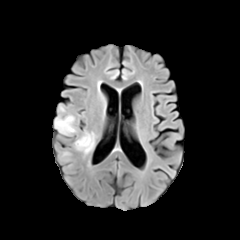
FLAIR MRI.
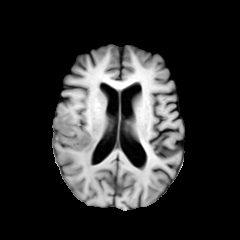
T1-weighted MR.
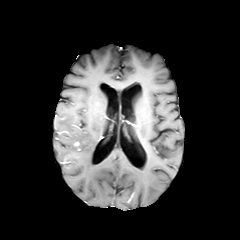
Post-contrast T1-weighted magnetic resonance.
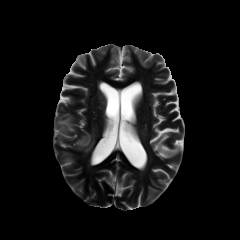
T2-weighted MRI.
Head
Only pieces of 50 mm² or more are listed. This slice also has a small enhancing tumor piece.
<segmentation>
  <peritumoral_edema>region(54, 115, 76, 135); region(74, 131, 95, 154); region(62, 152, 71, 162)</peritumoral_edema>
</segmentation>